240x240, Image covers 240 mm x 240 mm, Axial view
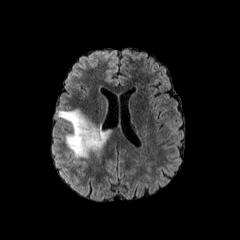
FLAIR MRI.
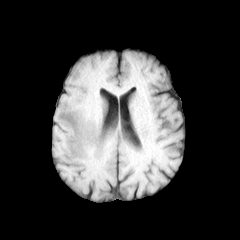
T1-weighted magnetic resonance.
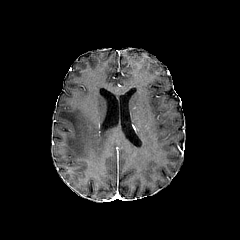
Post-contrast T1-weighted MR image.
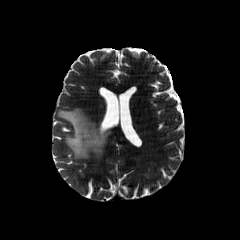
T2-weighted magnetic resonance of the same slice.
The peritumoral edema lies within <bbox>57, 109, 109, 158</bbox>.